Slice 103 of 155; Axial slice; Image size 240x240; Head
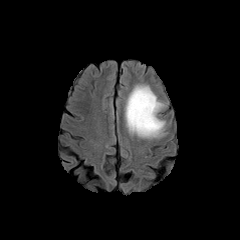
FLAIR MR.
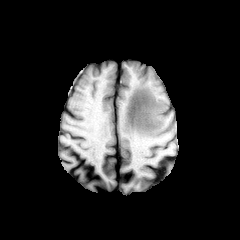
T1-weighted MR image.
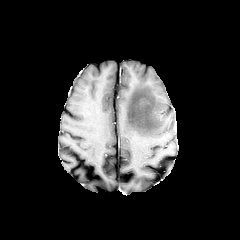
Post-contrast T1-weighted MR of the same slice.
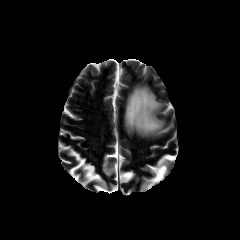
T2-weighted magnetic resonance.
peritumoral edema: box=[125, 85, 165, 138]